Axial plane
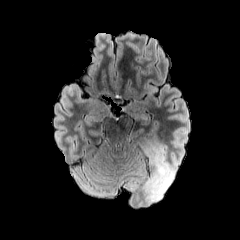
FLAIR MRI.
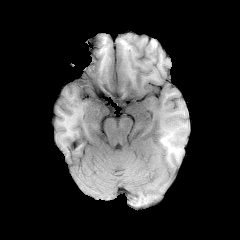
T1-weighted MR.
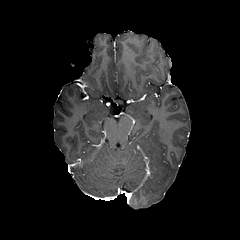
Post-contrast T1-weighted MRI.
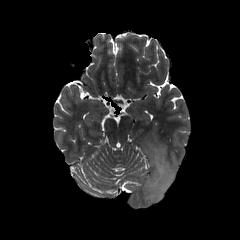
T2-weighted magnetic resonance.
<segmentation>
  <peritumoral_edema>bbox=[139, 139, 175, 202]</peritumoral_edema>
</segmentation>